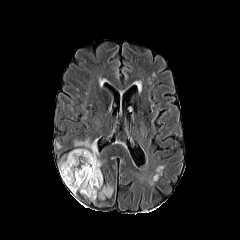
FLAIR MR image.
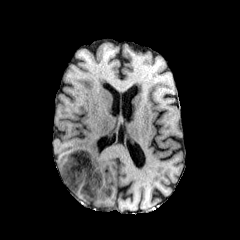
T1-weighted MR of the same slice.
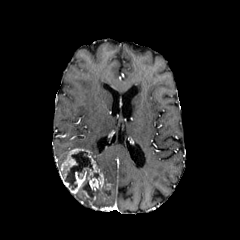
Post-contrast T1-weighted magnetic resonance of the same slice.
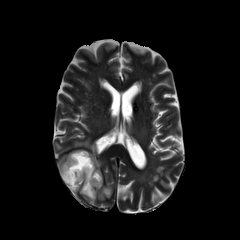
T2-weighted MRI.
Axial plane
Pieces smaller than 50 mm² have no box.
The largest enhancing tumor region appears at <bbox>59, 148, 110, 193</bbox>. The 2 largest necrotic tumor core regions appear at <bbox>65, 151, 92, 189</bbox>, <bbox>82, 170, 94, 198</bbox>. The 2 largest peritumoral edema regions are located at <bbox>74, 139, 101, 168</bbox>, <bbox>94, 187, 113, 199</bbox>.